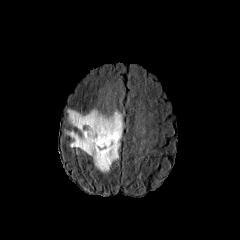
FLAIR magnetic resonance.
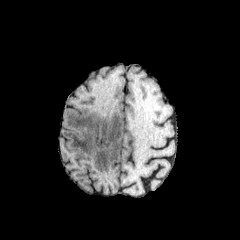
Same slice, T1-weighted magnetic resonance.
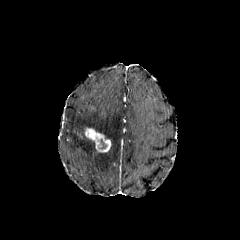
Post-contrast T1-weighted magnetic resonance of the same slice.
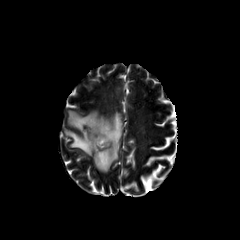
Same slice, T2-weighted MR.
Head; Axial plane
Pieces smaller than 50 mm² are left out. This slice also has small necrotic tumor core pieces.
peritumoral_edema:
  - [63, 108, 123, 172]
enhancing_tumor:
  - [84, 127, 111, 152]